FLAIR MR image.
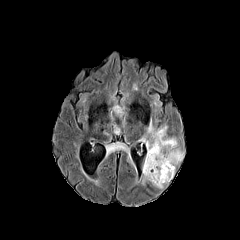
T1-weighted MR.
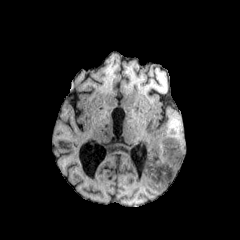
Post-contrast T1-weighted MRI.
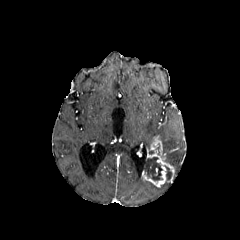
T2-weighted magnetic resonance.
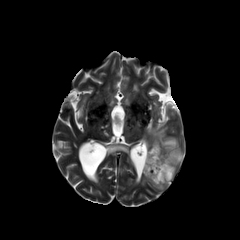
Axial plane.
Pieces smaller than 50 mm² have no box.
peritumoral edema at l=141, t=119, r=183, b=170
necrotic tumor core at l=165, t=166, r=171, b=180; l=144, t=157, r=162, b=180
enhancing tumor at l=142, t=136, r=174, b=187